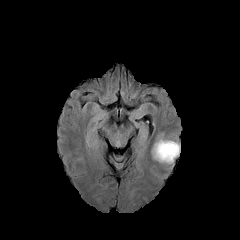
FLAIR magnetic resonance.
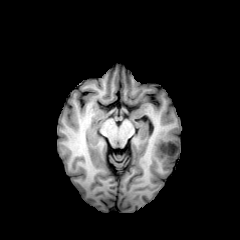
Same slice, T1-weighted MR image.
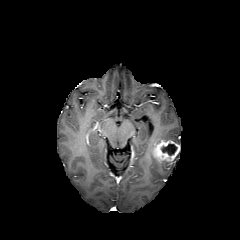
Post-contrast T1-weighted MR image.
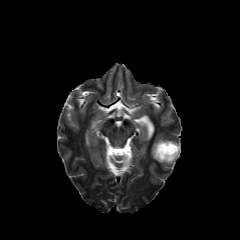
T2-weighted MRI.
240x240 px
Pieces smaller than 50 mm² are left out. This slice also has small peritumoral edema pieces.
The necrotic tumor core appears at [161, 144, 177, 155]. The enhancing tumor appears at [152, 140, 180, 162].